Slice 68/155. Head.
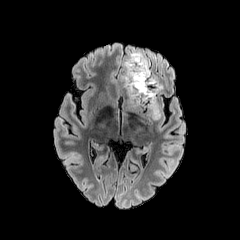
FLAIR MR.
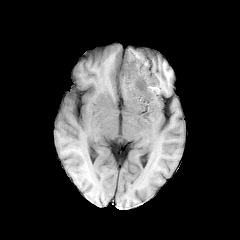
T1-weighted magnetic resonance.
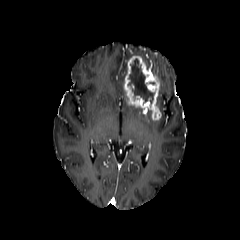
Post-contrast T1-weighted magnetic resonance of the same slice.
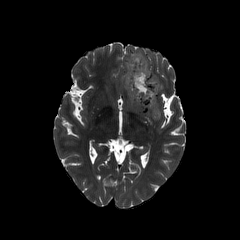
T2-weighted magnetic resonance of the same slice.
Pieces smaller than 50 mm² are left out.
The largest enhancing tumor region appears at box(123, 56, 161, 119). The largest necrotic tumor core region appears at box(128, 58, 154, 103). The largest peritumoral edema region lies within box(120, 48, 148, 87).